Slice index 60. Axial plane.
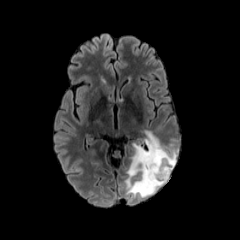
FLAIR MR image.
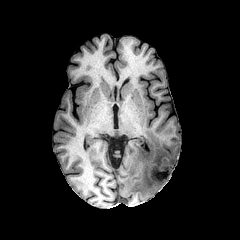
T1-weighted MR of the same slice.
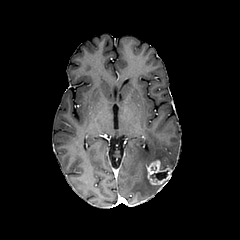
Same slice, post-contrast T1-weighted magnetic resonance.
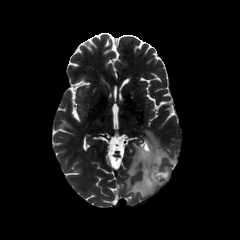
T2-weighted magnetic resonance.
{"peritumoral_edema": ["[125, 130, 176, 197]"], "enhancing_tumor": ["[146, 160, 172, 185]"], "necrotic_tumor_core": ["[150, 170, 168, 180]"]}